FLAIR MRI.
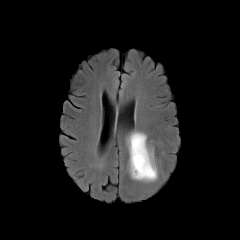
T1-weighted MR.
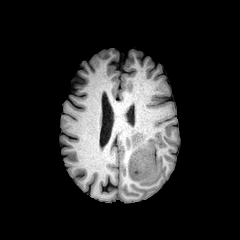
Post-contrast T1-weighted MRI.
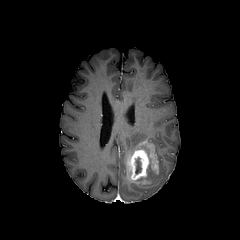
T2-weighted MRI.
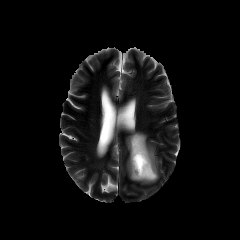
The necrotic tumor core is at l=136, t=157, r=141, b=173. 2 peritumoral edema regions are located at l=137, t=167, r=158, b=182; l=127, t=131, r=146, b=158. The enhancing tumor is at l=127, t=141, r=158, b=180.